FLAIR MR image.
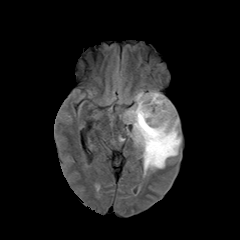
T1-weighted MR.
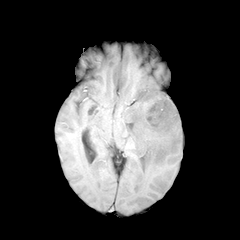
Post-contrast T1-weighted magnetic resonance.
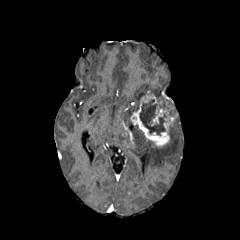
T2-weighted magnetic resonance.
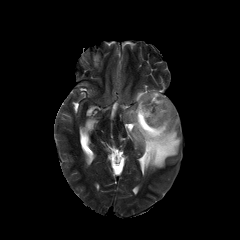
Axial view
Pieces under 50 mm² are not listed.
enhancing_tumor:
  - (left=131, top=94, right=177, bottom=147)
peritumoral_edema:
  - (left=123, top=90, right=168, bottom=123)
  - (left=133, top=116, right=181, bottom=174)
necrotic_tumor_core:
  - (left=140, top=99, right=166, bottom=135)
  - (left=159, top=102, right=171, bottom=109)